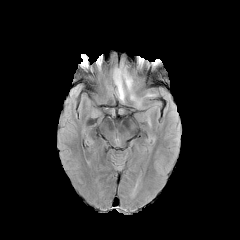
FLAIR MR image.
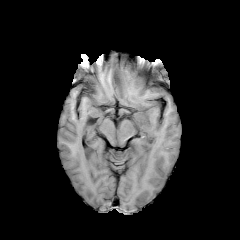
Same slice, T1-weighted magnetic resonance.
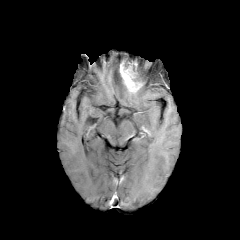
Post-contrast T1-weighted magnetic resonance of the same slice.
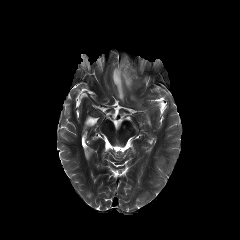
T2-weighted magnetic resonance.
Axial view | Brain
<segmentation>
  <peritumoral_edema>(129,88,160,106), (112,66,128,102)</peritumoral_edema>
  <necrotic_tumor_core>(124,59,138,81)</necrotic_tumor_core>
  <enhancing_tumor>(119,60,142,92)</enhancing_tumor>
</segmentation>